Slice index 63, Image size 240x240, Head
FLAIR magnetic resonance.
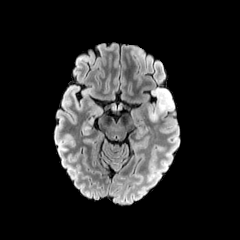
T1-weighted MR image.
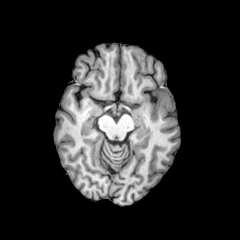
Post-contrast T1-weighted MRI.
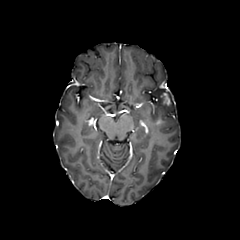
T2-weighted magnetic resonance.
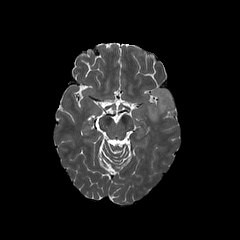
enhancing_tumor:
  - x1=159, y1=90, x2=172, y2=107
peritumoral_edema:
  - x1=147, y1=88, x2=174, y2=121